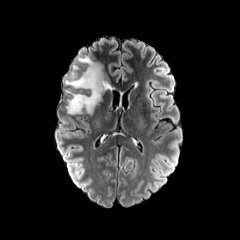
FLAIR MR image.
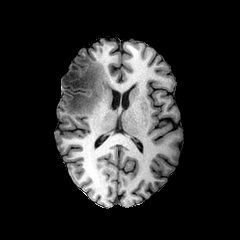
T1-weighted MR.
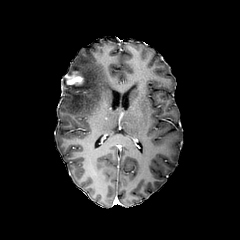
Same slice, post-contrast T1-weighted MRI.
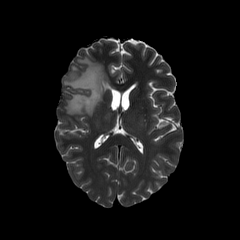
Same slice, T2-weighted magnetic resonance.
Head.
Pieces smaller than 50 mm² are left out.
* peritumoral edema: (left=66, top=56, right=107, bottom=114)
* enhancing tumor: (left=64, top=71, right=83, bottom=85)